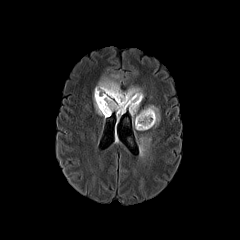
FLAIR MR.
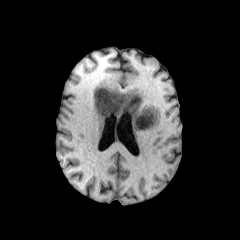
T1-weighted magnetic resonance.
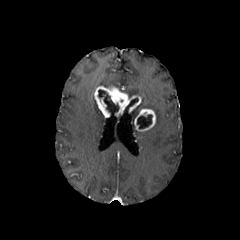
Same slice, post-contrast T1-weighted MR image.
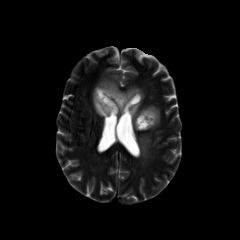
T2-weighted magnetic resonance of the same slice.
Brain
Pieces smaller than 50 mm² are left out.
enhancing_tumor:
  - 134, 108, 155, 131
  - 94, 85, 142, 117
peritumoral_edema:
  - 93, 93, 103, 116
  - 146, 105, 160, 126
  - 139, 136, 151, 155
  - 129, 105, 139, 124
  - 123, 86, 144, 99
  - 95, 74, 120, 89
necrotic_tumor_core:
  - 98, 89, 119, 114
  - 137, 114, 152, 128
  - 124, 98, 138, 112